Slice 109 of 155; Axial plane; Brain
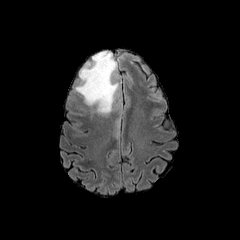
FLAIR magnetic resonance.
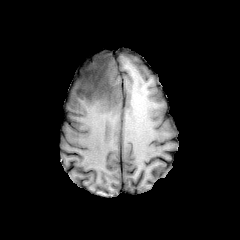
Same slice, T1-weighted magnetic resonance.
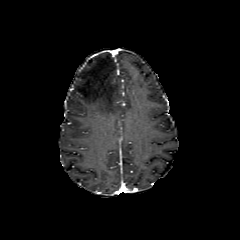
Post-contrast T1-weighted MR image.
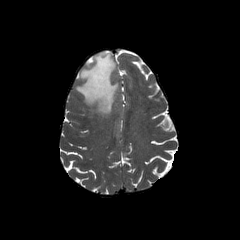
T2-weighted MR.
peritumoral edema at region(74, 51, 119, 115)